240x240 px
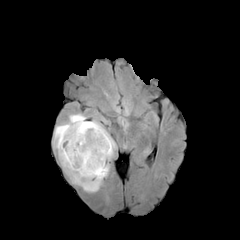
FLAIR magnetic resonance.
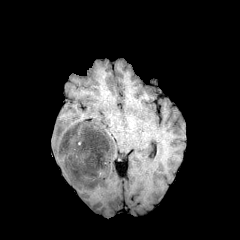
T1-weighted magnetic resonance.
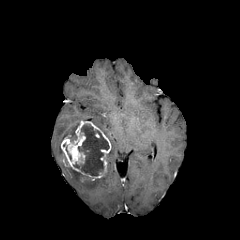
Post-contrast T1-weighted MR image.
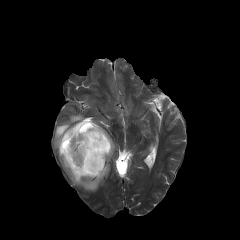
Same slice, T2-weighted MR.
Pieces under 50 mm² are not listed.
peritumoral edema: bounding box {"x1": 53, "y1": 114, "x2": 116, "y2": 192}
necrotic tumor core: bounding box {"x1": 78, "y1": 124, "x2": 109, "y2": 175}
enhancing tumor: bounding box {"x1": 61, "y1": 120, "x2": 111, "y2": 183}